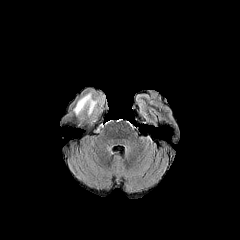
FLAIR MR.
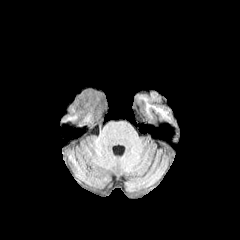
T1-weighted MR.
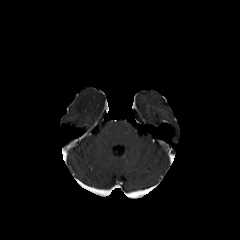
Post-contrast T1-weighted magnetic resonance.
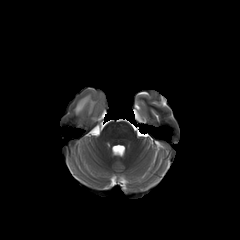
T2-weighted MR image of the same slice.
Head. 240x240 px. Axial slice.
peritumoral edema at box=[74, 92, 104, 116]